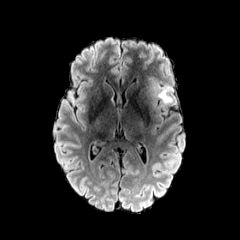
FLAIR MRI.
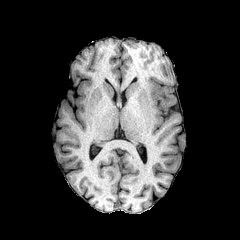
T1-weighted MRI.
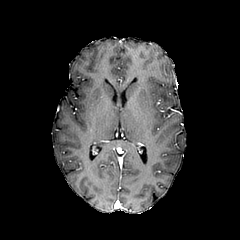
Post-contrast T1-weighted MR image.
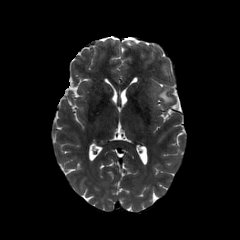
T2-weighted MRI.
240x240
Segmented structures:
- peritumoral edema: bbox=[157, 85, 173, 104]